FLAIR MR.
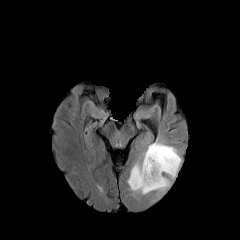
T1-weighted MR image.
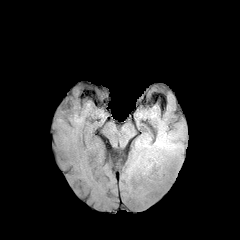
Post-contrast T1-weighted magnetic resonance.
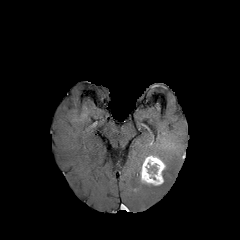
T2-weighted MR image.
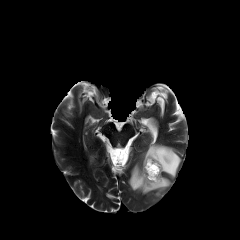
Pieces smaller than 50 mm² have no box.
necrotic_tumor_core:
  - region(145, 159, 159, 179)
enhancing_tumor:
  - region(140, 155, 165, 185)
peritumoral_edema:
  - region(127, 140, 181, 195)